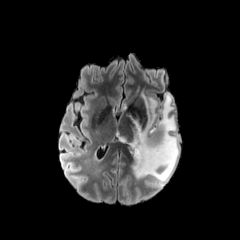
FLAIR MR.
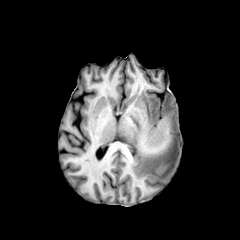
Same slice, T1-weighted magnetic resonance.
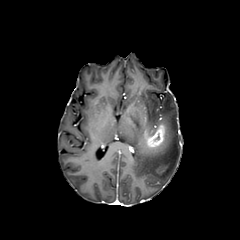
Post-contrast T1-weighted MR image.
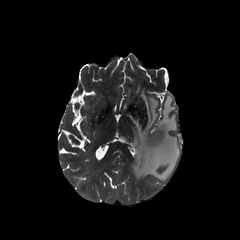
T2-weighted MRI.
240x240, Head
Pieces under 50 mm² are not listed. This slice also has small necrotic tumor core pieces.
enhancing tumor = <box>143,123,165,148</box>
peritumoral edema = <box>119,93,179,185</box>